FLAIR MR.
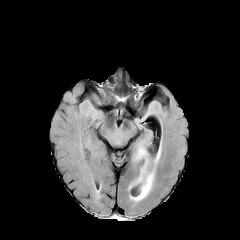
T1-weighted MR.
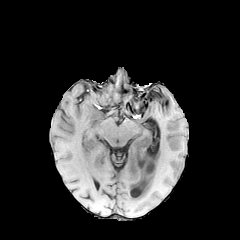
Post-contrast T1-weighted MR image.
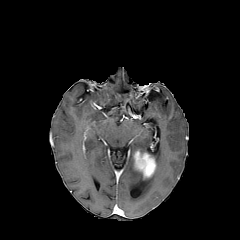
T2-weighted magnetic resonance.
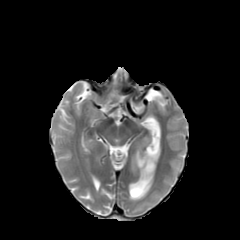
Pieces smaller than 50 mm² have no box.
enhancing_tumor:
  - left=133, top=150, right=156, bottom=178
peritumoral_edema:
  - left=129, top=172, right=154, bottom=201
  - left=137, top=143, right=146, bottom=152